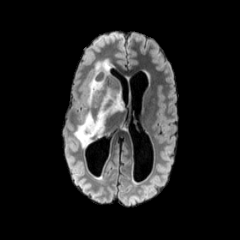
FLAIR MR.
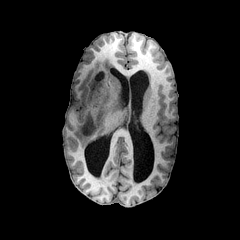
T1-weighted MRI.
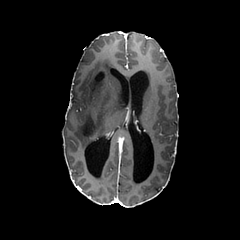
Same slice, post-contrast T1-weighted MRI.
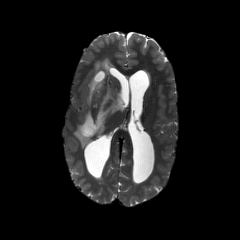
T2-weighted MR of the same slice.
Axial plane, Brain
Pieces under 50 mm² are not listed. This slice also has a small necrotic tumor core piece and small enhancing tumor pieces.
The peritumoral edema lies within x1=74 y1=59 x2=124 y2=147.